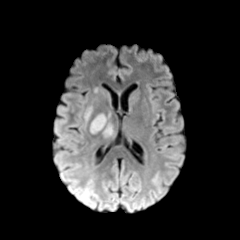
FLAIR MR image.
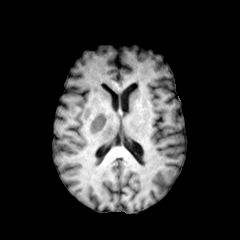
T1-weighted MR image.
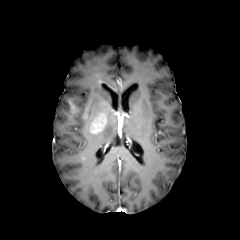
Post-contrast T1-weighted MRI of the same slice.
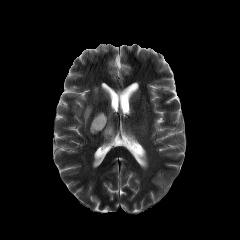
T2-weighted magnetic resonance.
Brain | 240x240 px | Axial view
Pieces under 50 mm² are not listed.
The enhancing tumor appears at rect(90, 113, 106, 133). The largest peritumoral edema region lies within rect(103, 124, 113, 136).